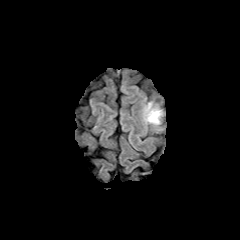
FLAIR magnetic resonance.
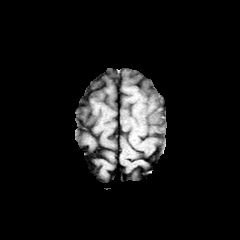
T1-weighted MRI.
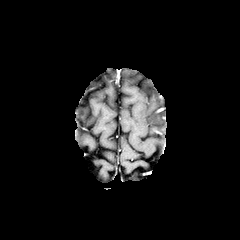
Post-contrast T1-weighted MRI.
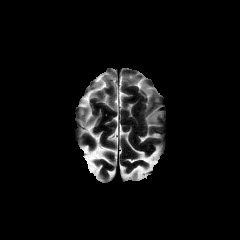
T2-weighted MR.
Annotated regions:
- peritumoral edema: x1=145, y1=103, x2=161, y2=124